FLAIR MR image.
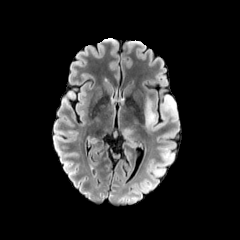
T1-weighted magnetic resonance.
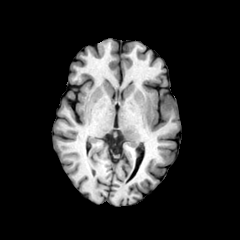
Post-contrast T1-weighted magnetic resonance.
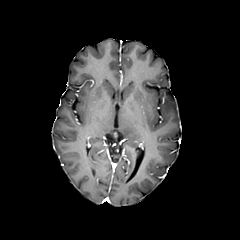
T2-weighted MR.
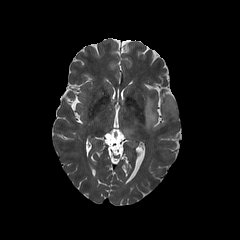
peritumoral edema: (x1=144, y1=95, x2=177, y2=131), (x1=121, y1=126, x2=137, y2=141)